Brain, Image covers 240 mm x 240 mm, Slice 74/155
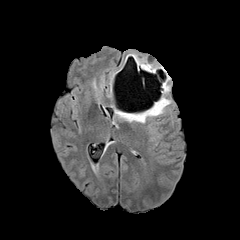
FLAIR magnetic resonance.
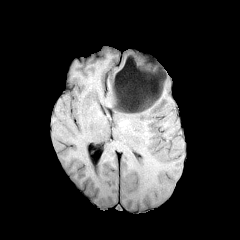
T1-weighted MRI.
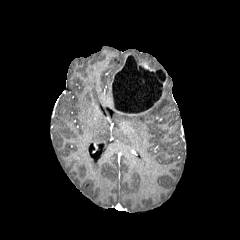
Post-contrast T1-weighted magnetic resonance of the same slice.
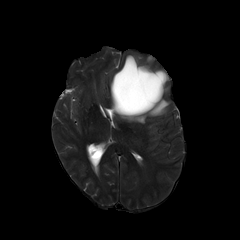
T2-weighted MR image.
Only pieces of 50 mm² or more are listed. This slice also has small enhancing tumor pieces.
The largest peritumoral edema region is located at bbox(117, 97, 170, 123). The necrotic tumor core appears at bbox(112, 55, 166, 113).